FLAIR MR image.
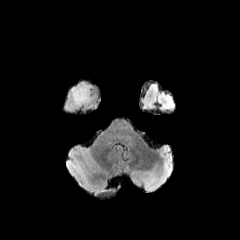
T1-weighted magnetic resonance.
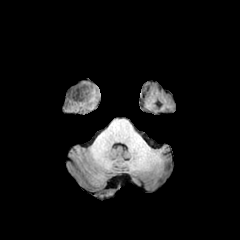
Post-contrast T1-weighted MR image.
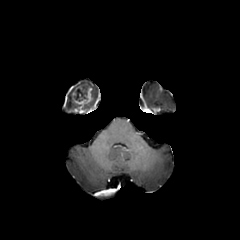
T2-weighted magnetic resonance.
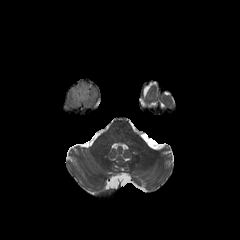
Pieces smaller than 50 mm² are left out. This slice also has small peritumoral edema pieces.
The necrotic tumor core is located at [x1=74, y1=84, x2=88, y2=100]. The enhancing tumor is bounded by [x1=67, y1=85, x2=92, y2=106].